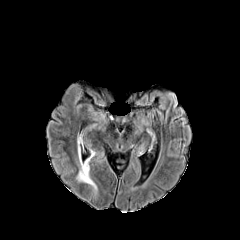
FLAIR MRI.
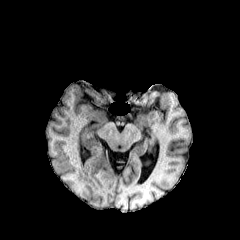
T1-weighted MRI of the same slice.
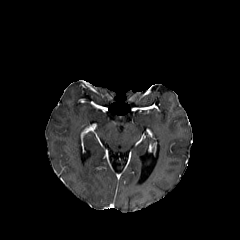
Same slice, post-contrast T1-weighted MRI.
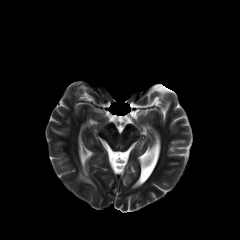
T2-weighted MR.
Head.
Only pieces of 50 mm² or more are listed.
peritumoral_edema:
  - left=77, top=152, right=96, bottom=189